FLAIR MR.
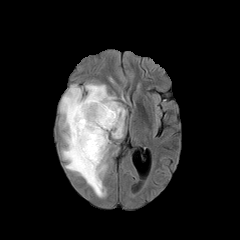
T1-weighted magnetic resonance.
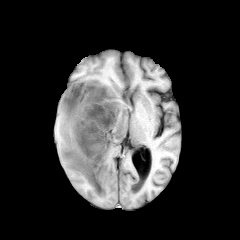
Post-contrast T1-weighted magnetic resonance.
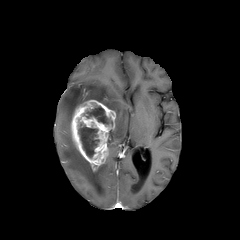
T2-weighted MR image.
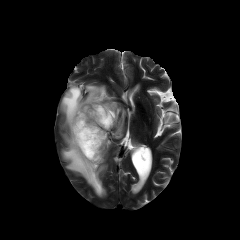
Brain
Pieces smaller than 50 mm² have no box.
necrotic_tumor_core:
  - 86:106:109:124
  - 78:123:99:157
enhancing_tumor:
  - 71:100:115:171
peritumoral_edema:
  - 60:84:126:197